FLAIR MRI.
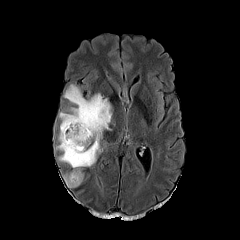
T1-weighted MRI.
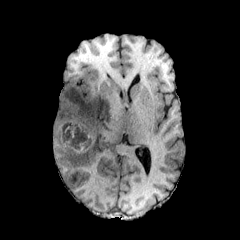
Post-contrast T1-weighted MR.
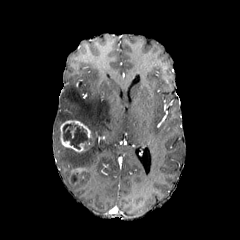
T2-weighted MR image.
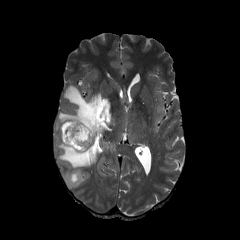
240x240, Axial slice
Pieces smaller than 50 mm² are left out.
The largest enhancing tumor region is located at left=60, top=120, right=90, bottom=152. The largest necrotic tumor core region is bounded by left=63, top=123, right=89, bottom=149. 2 peritumoral edema regions appear at left=56, top=84, right=112, bottom=169; left=63, top=172, right=84, bottom=188.